FLAIR magnetic resonance.
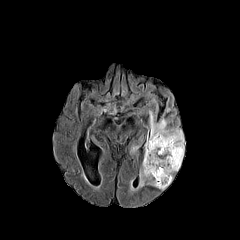
T1-weighted MR.
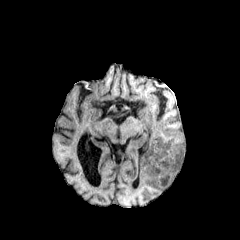
Post-contrast T1-weighted MR.
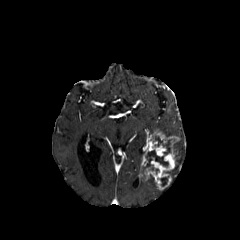
T2-weighted MR.
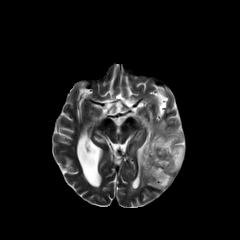
Axial plane
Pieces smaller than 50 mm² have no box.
Annotated regions:
* necrotic tumor core: <box>143,150,168,169</box>, <box>160,177,167,186</box>, <box>155,136,170,154</box>
* enhancing tumor: <box>140,129,180,190</box>
* peritumoral edema: <box>148,175,156,186</box>, <box>149,111,184,179</box>